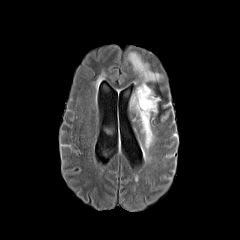
FLAIR magnetic resonance.
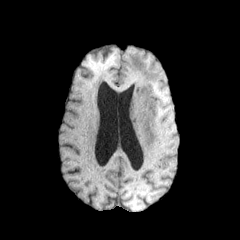
T1-weighted MR image.
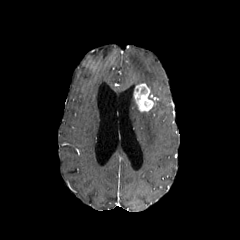
Post-contrast T1-weighted MR of the same slice.
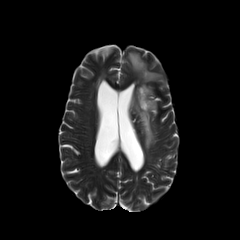
T2-weighted MR image.
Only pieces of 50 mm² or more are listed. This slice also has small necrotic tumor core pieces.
peritumoral edema: box(130, 97, 158, 160); box(128, 52, 160, 83)
enhancing tumor: box(133, 83, 158, 111)